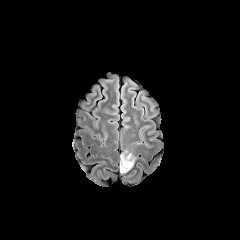
FLAIR magnetic resonance.
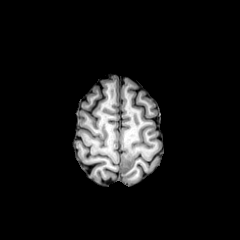
Same slice, T1-weighted MRI.
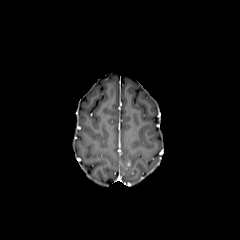
Post-contrast T1-weighted MR image of the same slice.
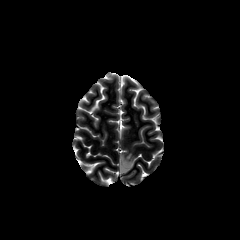
T2-weighted MR of the same slice.
Image size 240x240, Axial view
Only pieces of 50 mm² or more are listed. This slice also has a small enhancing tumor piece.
{"peritumoral_edema": ["bbox=[120, 148, 136, 173]"]}